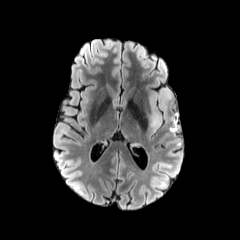
FLAIR MR.
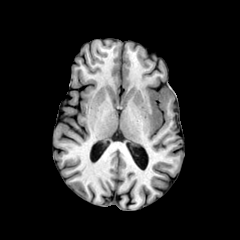
Same slice, T1-weighted MR.
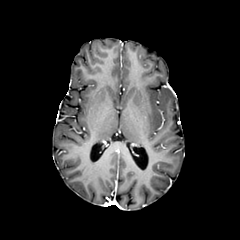
Post-contrast T1-weighted MR image.
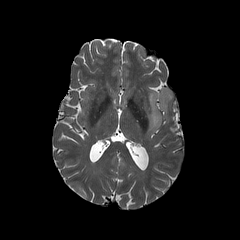
T2-weighted magnetic resonance.
Brain. Axial plane.
peritumoral edema: (149, 88, 172, 131)